FLAIR MR image.
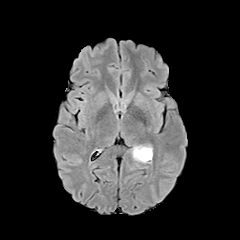
T1-weighted MR image.
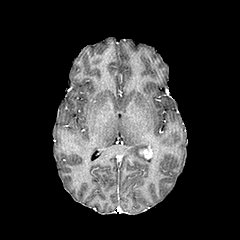
Post-contrast T1-weighted MRI.
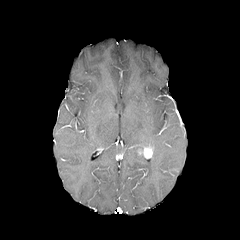
T2-weighted magnetic resonance.
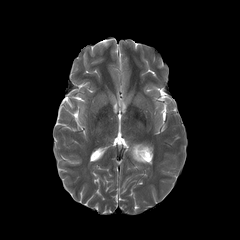
Axial slice. Image size 240x240. Head.
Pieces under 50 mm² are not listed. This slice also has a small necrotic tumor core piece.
{"enhancing_tumor": ["bbox(135, 146, 152, 159)"], "peritumoral_edema": ["bbox(130, 149, 152, 163)"]}